Image size 240x240.
FLAIR MRI.
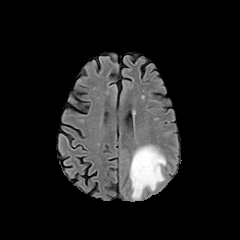
T1-weighted MR.
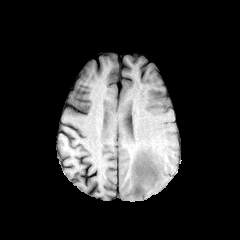
Post-contrast T1-weighted magnetic resonance.
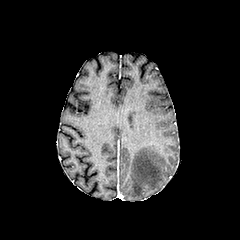
T2-weighted MR image.
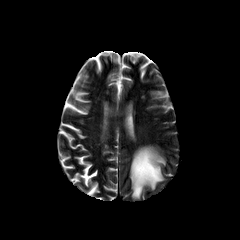
peritumoral edema: region(130, 145, 165, 199)